FLAIR MRI.
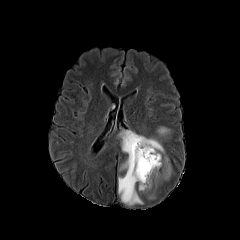
T1-weighted magnetic resonance.
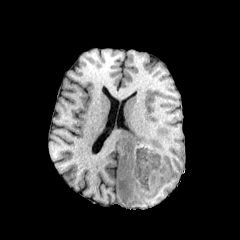
Post-contrast T1-weighted MRI.
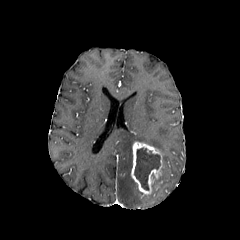
T2-weighted MR.
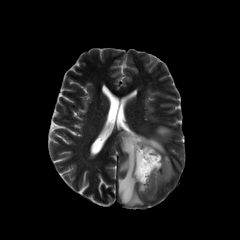
Axial slice, Brain
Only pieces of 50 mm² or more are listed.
necrotic tumor core — (134, 148, 160, 190)
peritumoral edema — (157, 127, 169, 135), (118, 131, 164, 205), (160, 156, 171, 180)
enhancing tumor — (131, 141, 165, 197)